Slice 57/155, 240x240 px
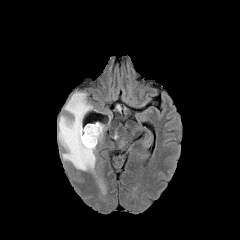
FLAIR magnetic resonance.
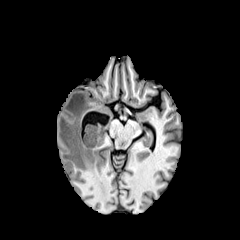
T1-weighted magnetic resonance of the same slice.
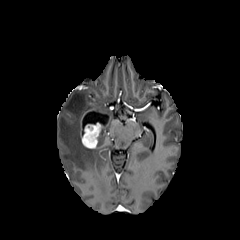
Post-contrast T1-weighted MR of the same slice.
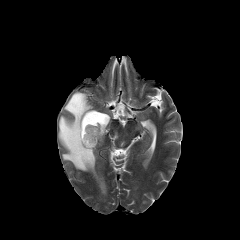
Same slice, T2-weighted MR.
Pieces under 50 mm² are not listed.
The largest peritumoral edema region is located at left=58, top=92, right=97, bottom=177. The enhancing tumor is bounded by left=80, top=110, right=101, bottom=148.